FLAIR MRI.
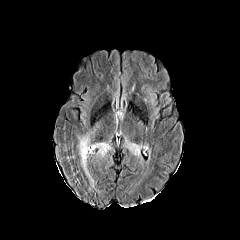
T1-weighted MRI.
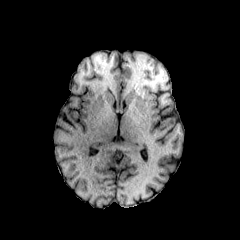
Post-contrast T1-weighted MR.
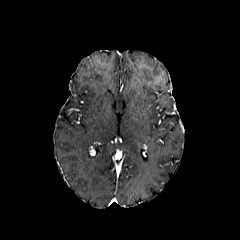
T2-weighted MR image.
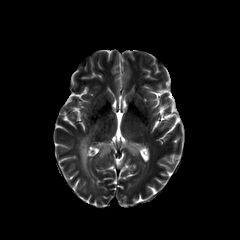
Head. Axial slice.
Segmented structures:
* peritumoral edema: [78, 135, 89, 176], [125, 141, 139, 155], [94, 143, 110, 156]